Image width 240 mm, 1.00 mm slice spacing; Head; Axial view
FLAIR magnetic resonance.
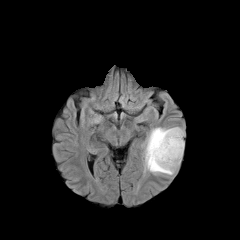
T1-weighted magnetic resonance.
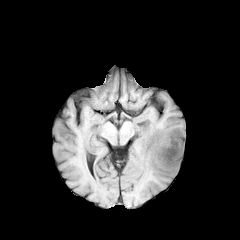
Post-contrast T1-weighted magnetic resonance.
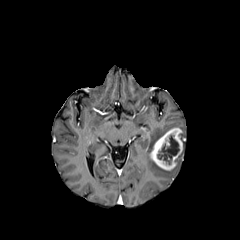
T2-weighted MR image.
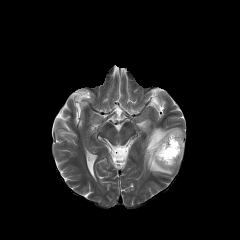
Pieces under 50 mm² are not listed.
enhancing tumor: bbox(149, 128, 183, 170) | peritumoral edema: bbox(144, 127, 182, 174) | necrotic tumor core: bbox(157, 135, 179, 164)